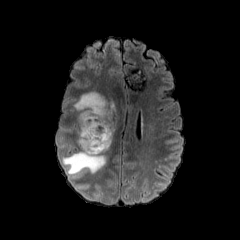
FLAIR MR.
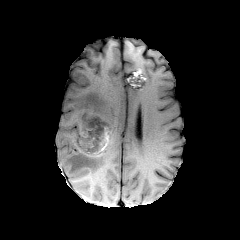
T1-weighted MRI of the same slice.
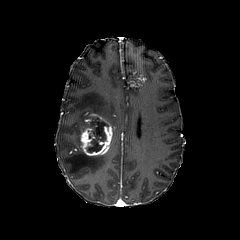
Post-contrast T1-weighted MRI of the same slice.
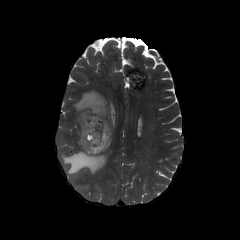
T2-weighted MR.
Axial view
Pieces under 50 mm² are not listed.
{
  "necrotic_tumor_core": [
    "86, 117, 107, 152"
  ],
  "enhancing_tumor": [
    "80, 113, 112, 155"
  ],
  "peritumoral_edema": [
    "74, 91, 117, 146",
    "61, 148, 106, 175"
  ]
}